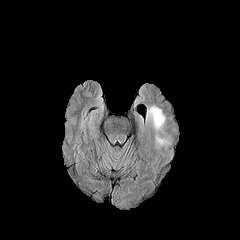
FLAIR MR.
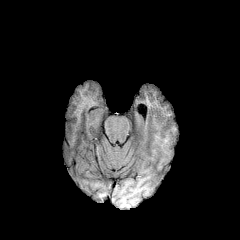
T1-weighted MR of the same slice.
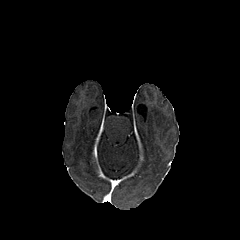
Post-contrast T1-weighted magnetic resonance of the same slice.
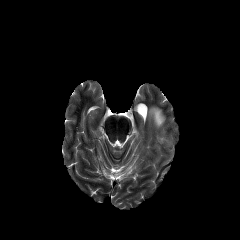
T2-weighted MR image of the same slice.
Head
peritumoral edema: bbox=[147, 106, 165, 129]; bbox=[156, 136, 168, 144]